Brain; 240x240 px; Slice 109 of 155
FLAIR MR image.
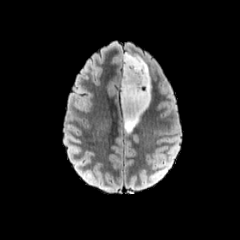
T1-weighted MR image.
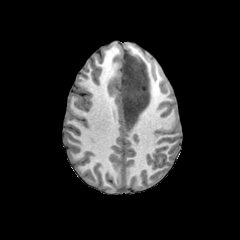
Post-contrast T1-weighted magnetic resonance.
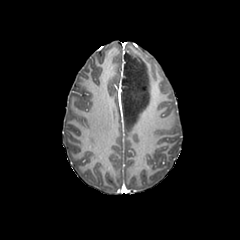
T2-weighted MR.
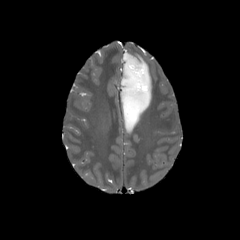
peritumoral edema = left=119, top=52, right=151, bottom=131